Head | Axial view
FLAIR MR image.
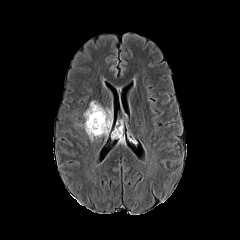
T1-weighted magnetic resonance.
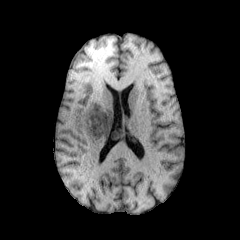
Post-contrast T1-weighted magnetic resonance.
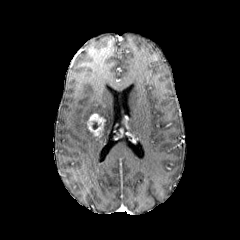
T2-weighted magnetic resonance.
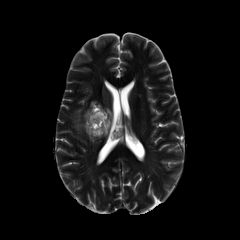
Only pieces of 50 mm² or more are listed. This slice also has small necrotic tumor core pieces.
The largest peritumoral edema region is located at region(76, 101, 112, 141). 2 enhancing tumor regions are bounded by region(113, 126, 123, 137); region(87, 113, 105, 137).